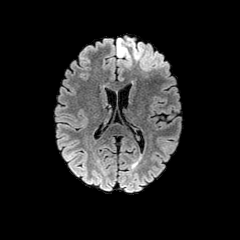
FLAIR MR image.
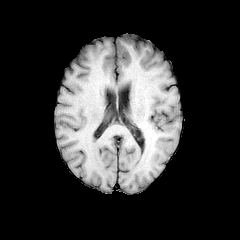
T1-weighted magnetic resonance.
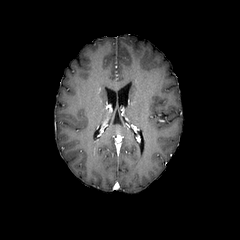
Post-contrast T1-weighted magnetic resonance.
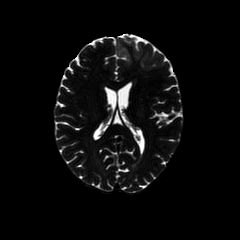
T2-weighted MRI.
240x240 | Axial slice | Brain
peritumoral edema — 116, 36, 143, 66